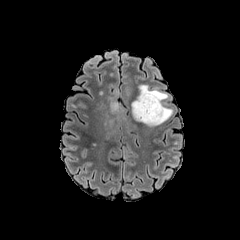
FLAIR MRI.
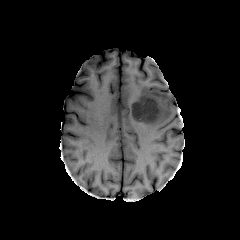
T1-weighted MRI.
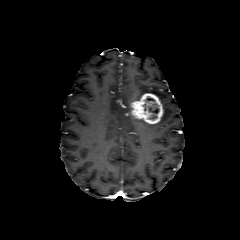
Post-contrast T1-weighted MRI.
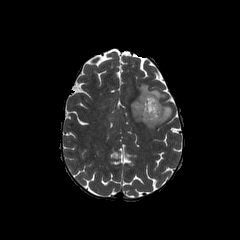
T2-weighted MRI of the same slice.
240x240 px, Brain
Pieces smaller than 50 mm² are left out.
{"enhancing_tumor": ["131:93:163:123"], "necrotic_tumor_core": ["149:107:158:113"], "peritumoral_edema": ["135:84:167:102", "134:105:172:127"]}